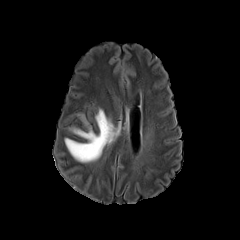
FLAIR MR image.
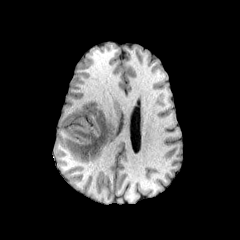
T1-weighted magnetic resonance of the same slice.
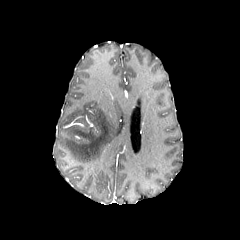
Post-contrast T1-weighted magnetic resonance.
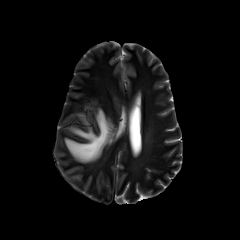
T2-weighted MR image.
Brain | 240x240 px
The peritumoral edema appears at box=[65, 109, 119, 162].